Image width 240 mm, 1.00 mm slice spacing, Head, 240x240
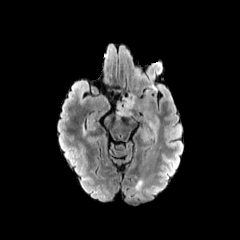
FLAIR MRI.
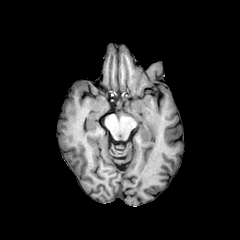
T1-weighted MR image of the same slice.
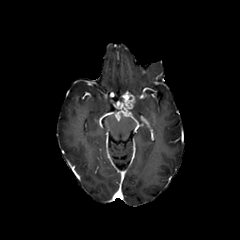
Post-contrast T1-weighted magnetic resonance.
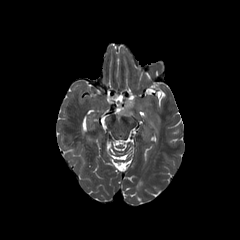
T2-weighted magnetic resonance.
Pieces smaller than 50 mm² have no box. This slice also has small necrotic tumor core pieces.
The enhancing tumor appears at {"x1": 115, "y1": 91, "x2": 135, "y2": 120}. The peritumoral edema is at {"x1": 135, "y1": 100, "x2": 159, "y2": 141}.